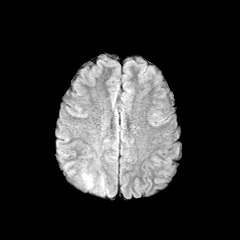
FLAIR MRI.
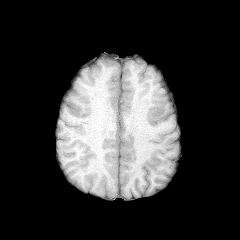
T1-weighted MR.
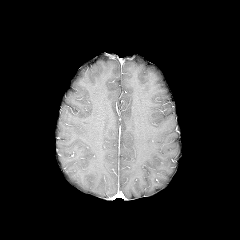
Post-contrast T1-weighted MR.
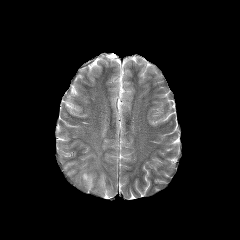
T2-weighted MRI.
Brain.
2 peritumoral edema regions appear at (x1=96, y1=174, x2=112, y2=196), (x1=82, y1=172, x2=93, y2=189).